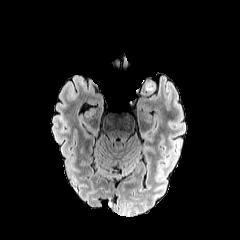
FLAIR MR.
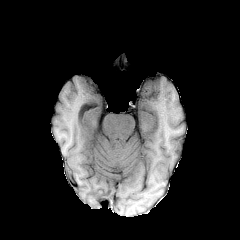
T1-weighted MR of the same slice.
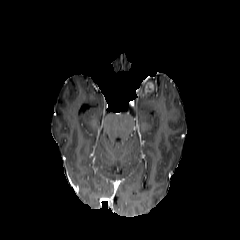
Post-contrast T1-weighted MR of the same slice.
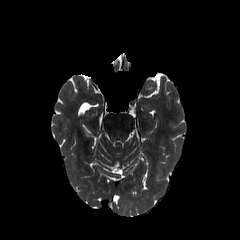
T2-weighted MRI.
Axial slice
enhancing tumor = <box>145,81,153,93</box>